Axial plane | 240x240 px | Head
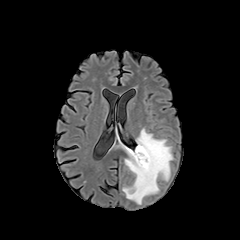
FLAIR MR image.
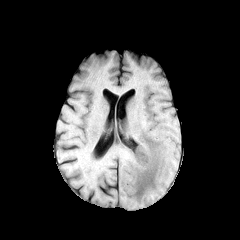
T1-weighted magnetic resonance.
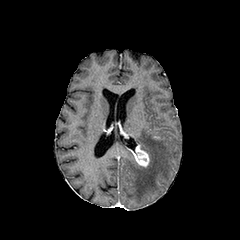
Same slice, post-contrast T1-weighted MRI.
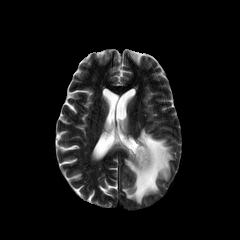
T2-weighted magnetic resonance.
enhancing_tumor:
  - x1=131 y1=145 x2=149 y2=167
peritumoral_edema:
  - x1=119 y1=128 x2=173 y2=204